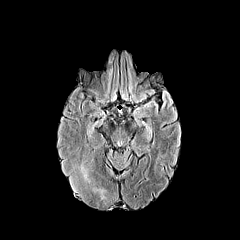
FLAIR MR.
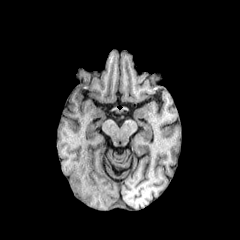
T1-weighted MRI of the same slice.
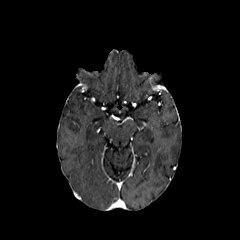
Post-contrast T1-weighted magnetic resonance of the same slice.
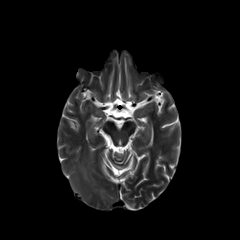
T2-weighted MR.
Head
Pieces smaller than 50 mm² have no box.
peritumoral edema at box(80, 164, 87, 179)